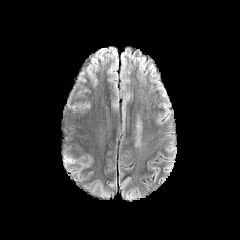
FLAIR MR.
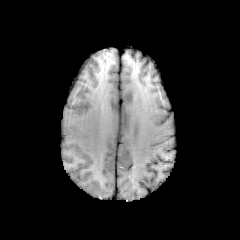
Same slice, T1-weighted MR.
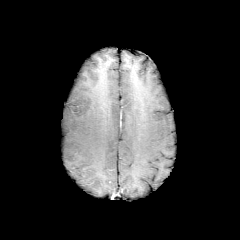
Post-contrast T1-weighted MRI.
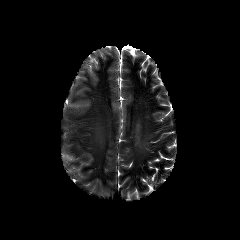
Same slice, T2-weighted MR image.
Brain | 240x240 px
The peritumoral edema is at bbox=[64, 155, 75, 162].